Brain. Slice index 95. Axial plane.
FLAIR MRI.
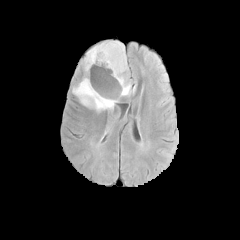
T1-weighted MRI.
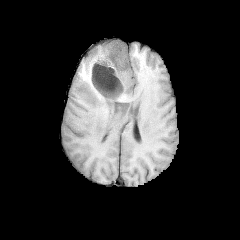
Post-contrast T1-weighted MRI.
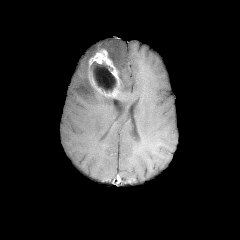
T2-weighted MR image.
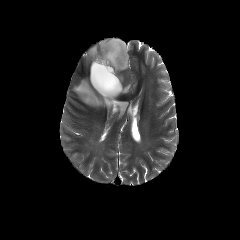
The necrotic tumor core is bounded by 91,61,116,92. 2 peritumoral edema regions are located at 72,78,117,114; 83,40,131,95. The enhancing tumor lies within 87,48,123,99.